Head
FLAIR MR.
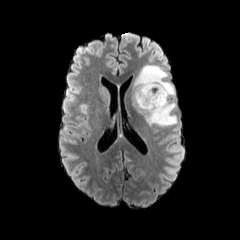
T1-weighted MR image.
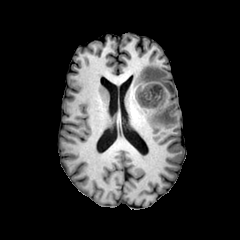
Post-contrast T1-weighted MR image.
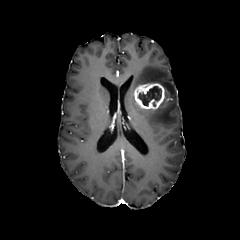
T2-weighted MR.
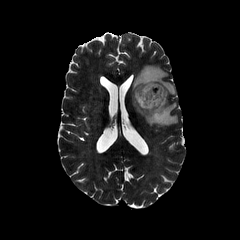
peritumoral edema: left=132, top=65, right=177, bottom=126 | necrotic tumor core: left=137, top=85, right=161, bottom=106 | enhancing tumor: left=134, top=83, right=165, bottom=109